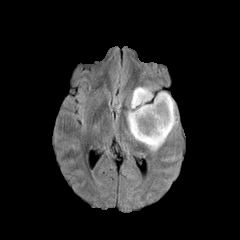
FLAIR MR.
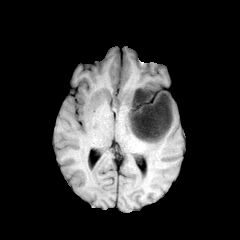
T1-weighted MR image of the same slice.
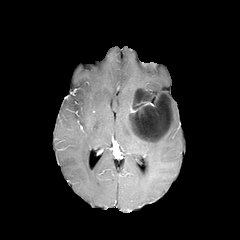
Post-contrast T1-weighted MR.
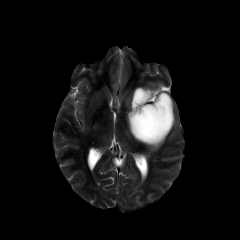
T2-weighted MRI.
Axial slice | Brain
Annotated regions:
* necrotic tumor core: region(132, 92, 170, 139)
* enhancing tumor: region(131, 90, 172, 141)
* peritumoral edema: region(127, 87, 177, 151)